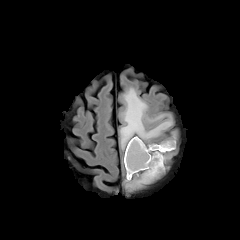
FLAIR MR image.
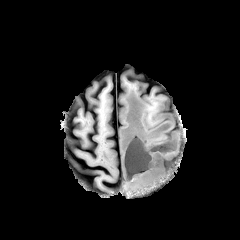
T1-weighted MRI of the same slice.
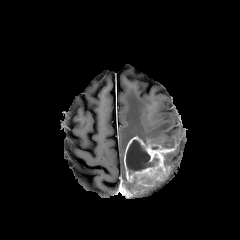
Post-contrast T1-weighted MR image.
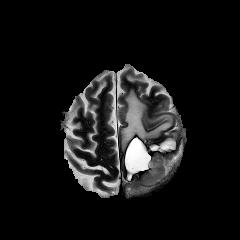
T2-weighted MRI.
240x240 px
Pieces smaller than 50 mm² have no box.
peritumoral edema — 125, 176, 142, 189; 160, 133, 175, 143; 120, 89, 172, 149
enhancing tumor — 124, 136, 176, 184
necrotic tumor core — 126, 140, 158, 171